Brain | Slice 41 of 155 | Axial plane | Image size 240x240
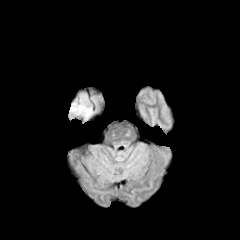
FLAIR MR.
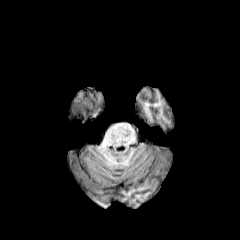
T1-weighted magnetic resonance.
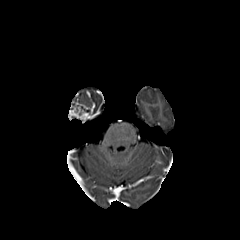
Post-contrast T1-weighted MR image of the same slice.
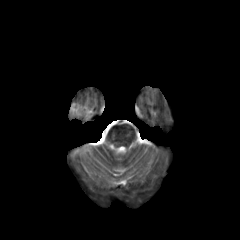
T2-weighted magnetic resonance.
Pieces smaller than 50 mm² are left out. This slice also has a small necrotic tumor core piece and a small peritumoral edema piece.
Segmented structures:
- enhancing tumor: x1=68, y1=102, x2=92, y2=121